Brain | Image width 240 mm
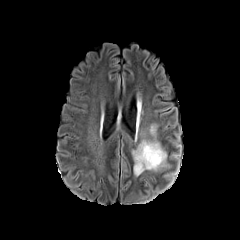
FLAIR MR.
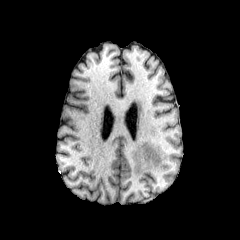
Same slice, T1-weighted MRI.
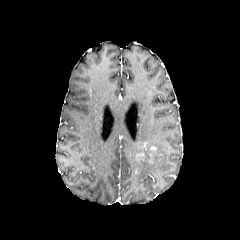
Post-contrast T1-weighted MRI.
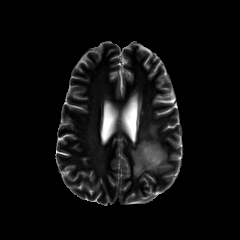
Same slice, T2-weighted MRI.
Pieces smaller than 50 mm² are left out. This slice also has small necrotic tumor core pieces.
peritumoral edema: bbox(132, 139, 169, 176) | enhancing tumor: bbox(136, 143, 156, 163)